Brain; Axial view
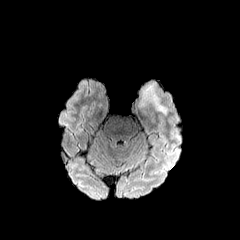
FLAIR MRI.
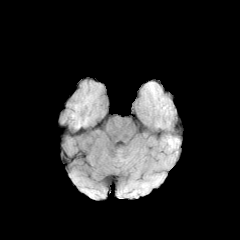
Same slice, T1-weighted MRI.
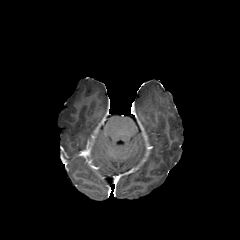
Post-contrast T1-weighted MR image of the same slice.
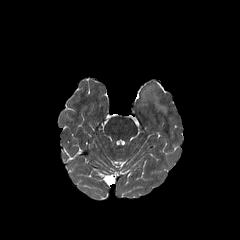
Same slice, T2-weighted MR image.
peritumoral edema = 138:85:167:115